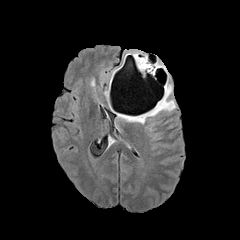
FLAIR MR image.
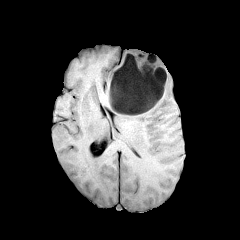
Same slice, T1-weighted MRI.
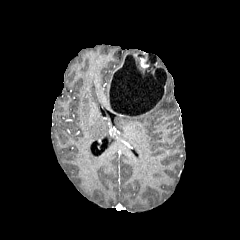
Same slice, post-contrast T1-weighted MRI.
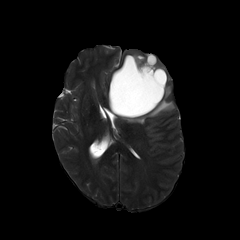
T2-weighted MRI.
Head | Axial view
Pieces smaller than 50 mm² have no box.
Annotated regions:
• necrotic tumor core: x1=109, y1=54, x2=167, y2=116
• peritumoral edema: x1=125, y1=86, x2=175, y2=123
• enhancing tumor: x1=112, y1=56, x2=125, y2=73